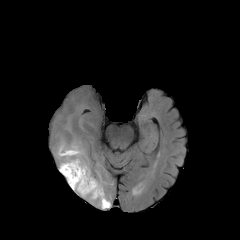
FLAIR MRI.
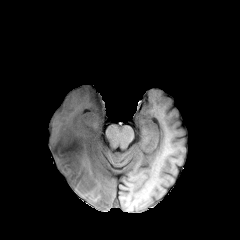
Same slice, T1-weighted magnetic resonance.
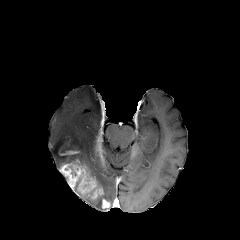
Same slice, post-contrast T1-weighted MR image.
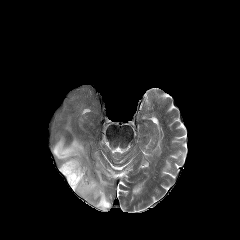
T2-weighted MRI of the same slice.
Axial view
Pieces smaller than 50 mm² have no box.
Annotated regions:
* peritumoral edema: <box>52,116,113,208</box>
* enhancing tumor: <box>102,199,110,209</box>, <box>59,158,103,199</box>, <box>59,142,79,155</box>
* necrotic tumor core: <box>61,145,75,152</box>